FLAIR magnetic resonance.
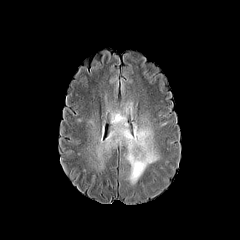
T1-weighted magnetic resonance.
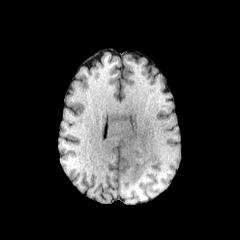
Post-contrast T1-weighted MR image.
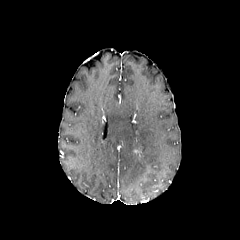
T2-weighted MRI.
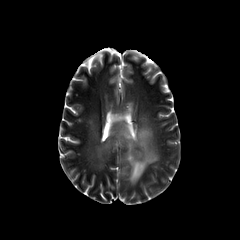
Axial plane. 240x240 px.
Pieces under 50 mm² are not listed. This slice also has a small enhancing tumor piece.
peritumoral edema: [86, 93, 161, 185]